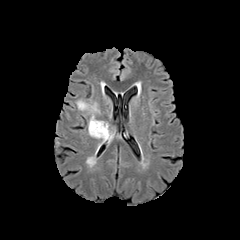
FLAIR MR.
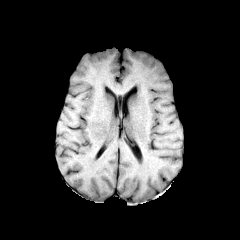
T1-weighted MR image.
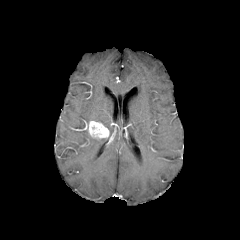
Same slice, post-contrast T1-weighted MR.
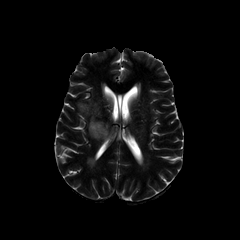
T2-weighted MR.
Brain
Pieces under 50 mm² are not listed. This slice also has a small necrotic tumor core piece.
The largest peritumoral edema region appears at box=[77, 101, 108, 129]. The enhancing tumor is at box=[88, 121, 109, 138].